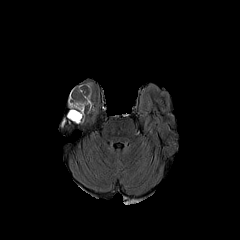
FLAIR MR.
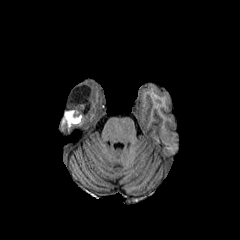
T1-weighted MR.
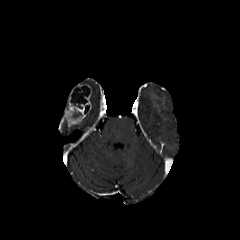
Post-contrast T1-weighted MRI.
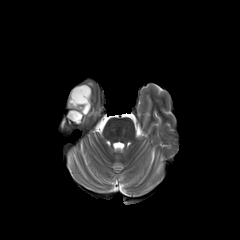
T2-weighted MRI of the same slice.
Head
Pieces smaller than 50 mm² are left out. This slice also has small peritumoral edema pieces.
<segmentation>
  <enhancing_tumor>67 84 91 123</enhancing_tumor>
  <necrotic_tumor_core>70 85 90 108, 69 111 82 119</necrotic_tumor_core>
</segmentation>